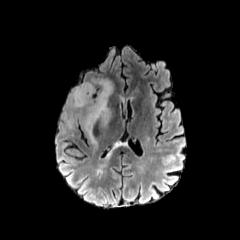
FLAIR magnetic resonance.
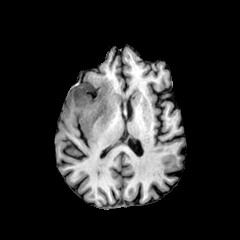
T1-weighted MR.
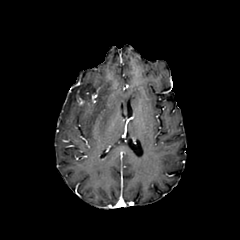
Post-contrast T1-weighted MR of the same slice.
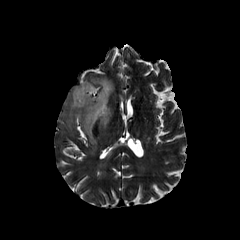
T2-weighted MR image.
Brain. Axial plane. 240x240.
{"peritumoral_edema": ["(67,78,113,144)"], "enhancing_tumor": ["(77,93,93,107)"]}